Slice index 53, Head, Axial view
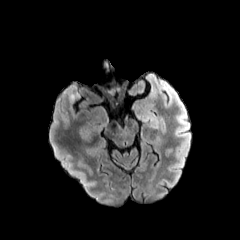
FLAIR MR.
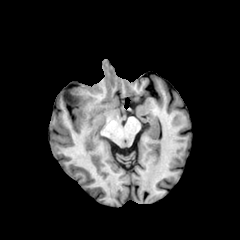
T1-weighted MRI of the same slice.
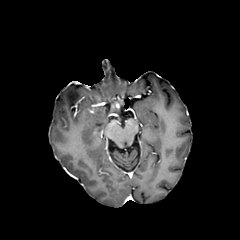
Post-contrast T1-weighted MRI of the same slice.
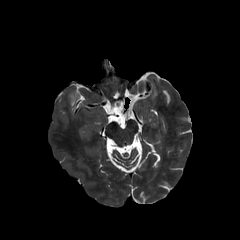
T2-weighted MRI.
peritumoral edema at <bbox>69, 93, 78, 101</bbox>